Image covers 240 mm x 240 mm | Image size 240x240 | Slice index 66
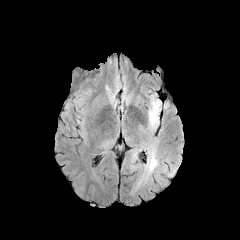
FLAIR magnetic resonance.
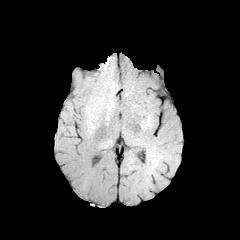
T1-weighted MR.
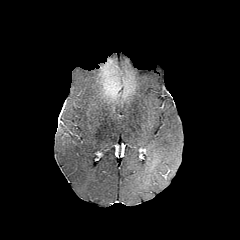
Same slice, post-contrast T1-weighted MR image.
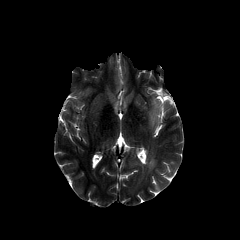
T2-weighted MR of the same slice.
<segmentation>
  <peritumoral_edema>124, 91, 183, 190; 100, 136, 116, 149</peritumoral_edema>
</segmentation>